240x240; Brain; Image width 240 mm
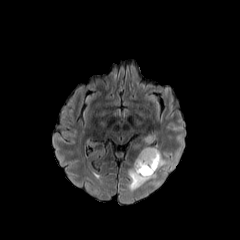
FLAIR MR image.
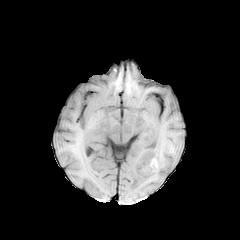
T1-weighted MR image.
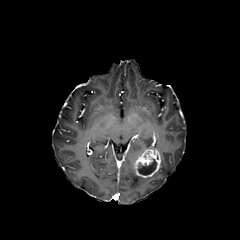
Post-contrast T1-weighted MR image of the same slice.
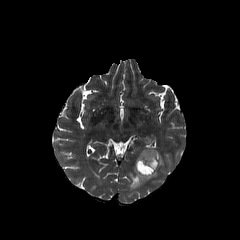
Same slice, T2-weighted MR image.
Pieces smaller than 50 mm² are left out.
The largest necrotic tumor core region appears at left=138, top=159, right=156, bottom=175. The largest peritumoral edema region lies within left=128, top=152, right=174, bottom=190. The enhancing tumor is located at left=134, top=149, right=161, bottom=178.